FLAIR magnetic resonance.
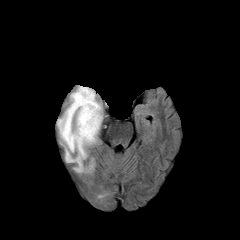
T1-weighted magnetic resonance.
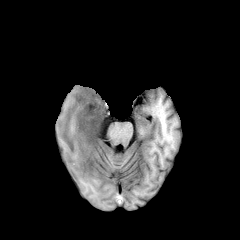
Post-contrast T1-weighted magnetic resonance.
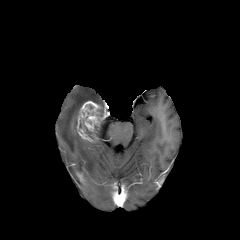
T2-weighted MRI.
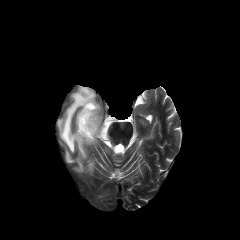
Axial plane, Brain
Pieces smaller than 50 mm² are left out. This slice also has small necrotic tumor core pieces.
enhancing_tumor:
  - <bbox>77, 101, 106, 142</bbox>
peritumoral_edema:
  - <bbox>57, 86, 100, 172</bbox>